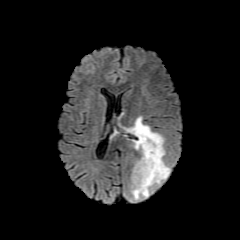
FLAIR MR image.
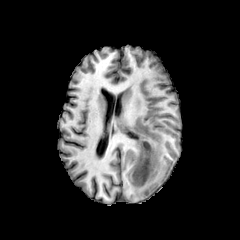
T1-weighted MR image.
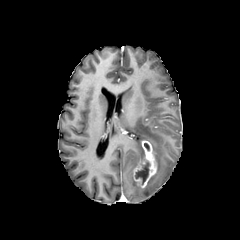
Same slice, post-contrast T1-weighted MR image.
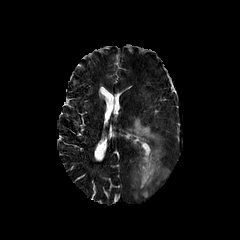
Same slice, T2-weighted magnetic resonance.
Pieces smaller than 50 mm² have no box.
The enhancing tumor is bounded by rect(133, 140, 157, 188). The largest peritumoral edema region appears at rect(126, 117, 170, 200). The largest necrotic tumor core region lies within rect(135, 162, 149, 184).